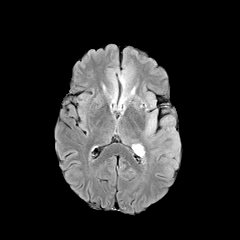
FLAIR MR image.
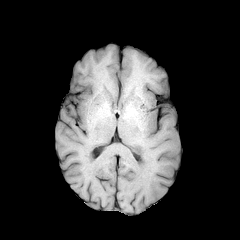
Same slice, T1-weighted magnetic resonance.
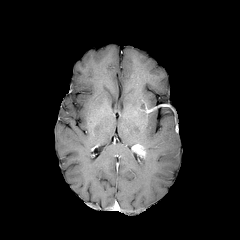
Same slice, post-contrast T1-weighted MR.
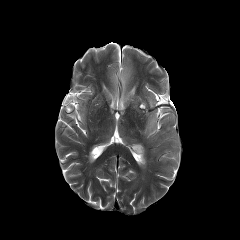
T2-weighted MRI of the same slice.
Head; Axial plane
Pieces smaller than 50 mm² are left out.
{"enhancing_tumor": ["x1=132 y1=144 x2=145 y2=156"], "peritumoral_edema": ["x1=146 y1=112 x2=155 y2=134", "x1=147 y1=95 x2=154 y2=107"]}